Image covers 240 mm x 240 mm; Axial view; Head; 240x240
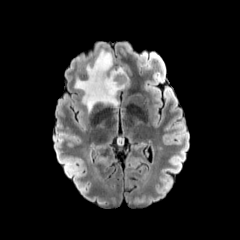
FLAIR MR image.
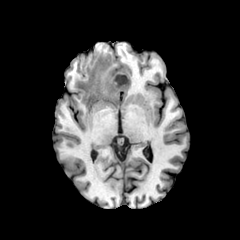
Same slice, T1-weighted magnetic resonance.
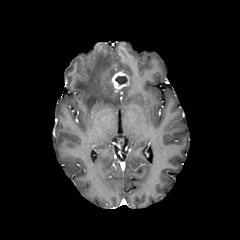
Same slice, post-contrast T1-weighted MR image.
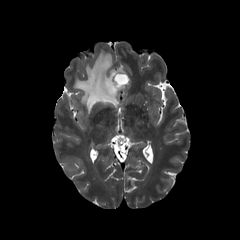
T2-weighted MRI.
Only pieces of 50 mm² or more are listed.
enhancing tumor: (left=111, top=71, right=129, bottom=92) | peritumoral edema: (left=74, top=50, right=126, bottom=111) | necrotic tumor core: (left=115, top=76, right=127, bottom=84)